Axial slice; Image size 240x240
FLAIR MR.
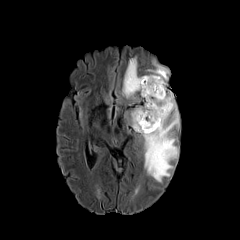
T1-weighted MR image.
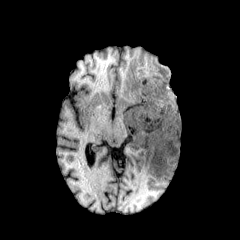
Post-contrast T1-weighted magnetic resonance.
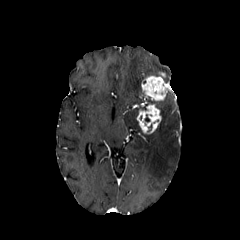
T2-weighted MRI.
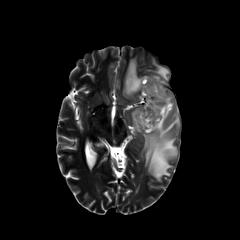
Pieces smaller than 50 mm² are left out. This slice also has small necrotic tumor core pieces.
3 peritumoral edema regions are bounded by {"x1": 130, "y1": 89, "x2": 179, "y2": 181}, {"x1": 147, "y1": 60, "x2": 169, "y2": 82}, {"x1": 122, "y1": 57, "x2": 149, "y2": 98}. The largest enhancing tumor region is at {"x1": 136, "y1": 71, "x2": 168, "y2": 134}.